FLAIR magnetic resonance.
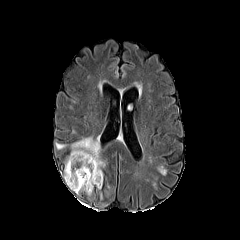
T1-weighted MRI.
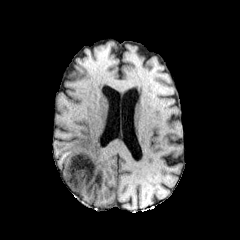
Post-contrast T1-weighted magnetic resonance.
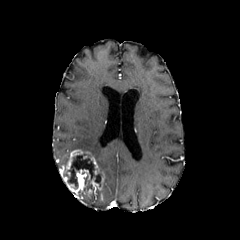
T2-weighted magnetic resonance.
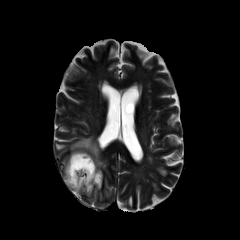
Brain
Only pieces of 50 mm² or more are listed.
The largest enhancing tumor region lies within (left=60, top=149, right=104, bottom=195). The largest necrotic tumor core region lies within (left=68, top=154, right=100, bottom=188). The largest peritumoral edema region appears at (left=70, top=136, right=106, bottom=170).